FLAIR MRI.
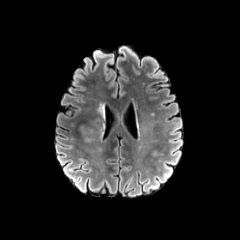
T1-weighted MRI.
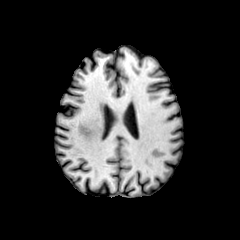
Post-contrast T1-weighted MR.
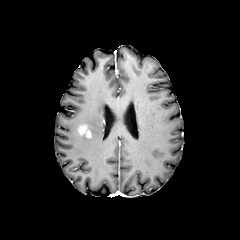
T2-weighted MR.
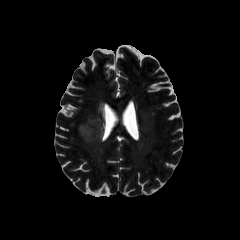
Axial slice; Brain
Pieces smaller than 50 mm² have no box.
peritumoral edema: 82:128:92:142
enhancing tumor: 81:127:90:137